FLAIR MR image.
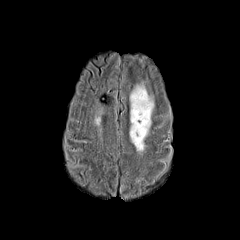
T1-weighted MR image.
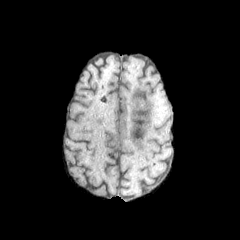
Post-contrast T1-weighted MRI.
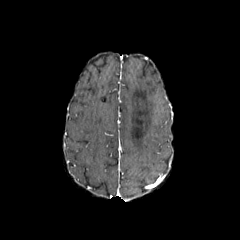
T2-weighted MR.
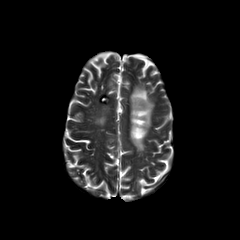
Axial plane. Head.
Findings:
• peritumoral edema: 130, 85, 154, 151